Slice index 73
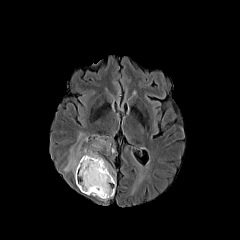
FLAIR magnetic resonance.
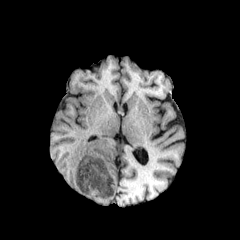
Same slice, T1-weighted magnetic resonance.
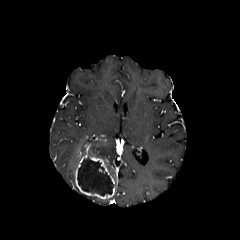
Post-contrast T1-weighted MRI.
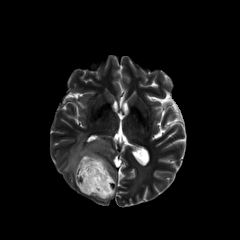
T2-weighted MR image of the same slice.
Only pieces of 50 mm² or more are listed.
necrotic tumor core = left=77, top=157, right=113, bottom=196
enhancing tumor = left=75, top=147, right=115, bottom=199
peritumoral edema = left=102, top=158, right=117, bottom=184; left=89, top=133, right=115, bottom=156; left=63, top=132, right=87, bottom=175